Head; Image covers 240 mm x 240 mm
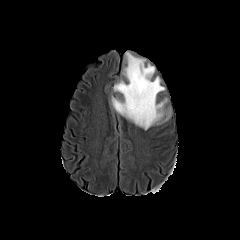
FLAIR magnetic resonance.
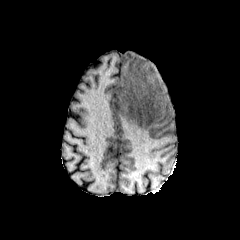
T1-weighted MR.
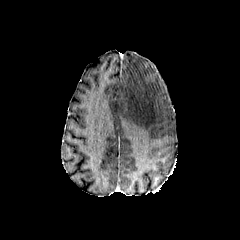
Post-contrast T1-weighted MR image.
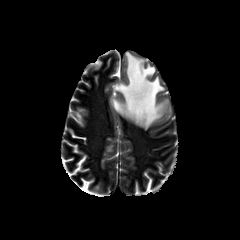
T2-weighted MR of the same slice.
The peritumoral edema lies within <box>111,52,171,130</box>.